FLAIR MRI.
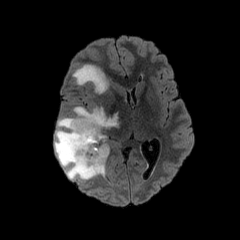
T1-weighted magnetic resonance.
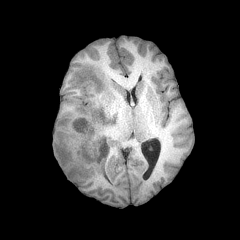
Post-contrast T1-weighted MR.
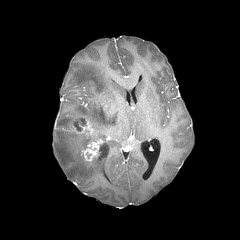
T2-weighted MRI.
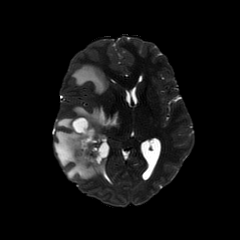
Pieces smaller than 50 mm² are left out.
2 peritumoral edema regions appear at box(54, 106, 118, 179); box(72, 64, 108, 93). 2 enhancing tumor regions appear at box(81, 139, 103, 161); box(72, 117, 96, 137). The largest necrotic tumor core region lies within box(73, 118, 86, 131).